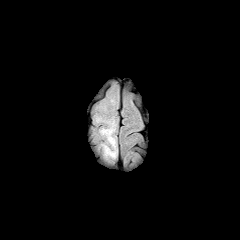
FLAIR MR.
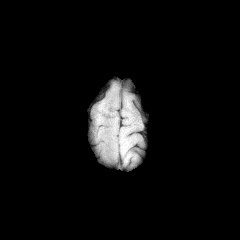
T1-weighted MRI of the same slice.
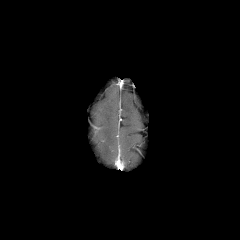
Post-contrast T1-weighted magnetic resonance.
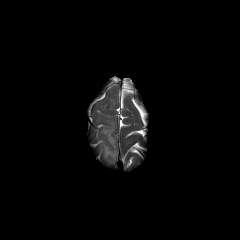
T2-weighted MR of the same slice.
The peritumoral edema is located at {"x1": 100, "y1": 121, "x2": 116, "y2": 158}.